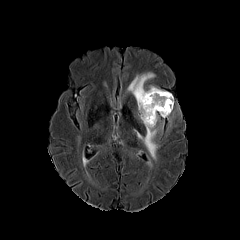
FLAIR MR.
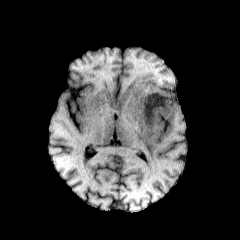
T1-weighted MRI of the same slice.
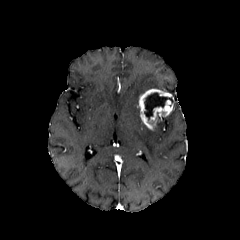
Post-contrast T1-weighted MR image.
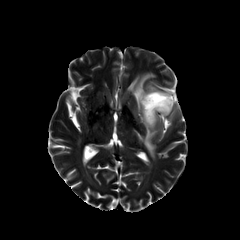
T2-weighted MRI.
240x240 px | Head
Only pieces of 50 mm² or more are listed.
necrotic tumor core: l=144, t=92, r=173, b=119
enhancing tumor: l=138, t=88, r=173, b=130
peritumoral edema: l=134, t=122, r=163, b=159; l=127, t=72, r=154, b=104